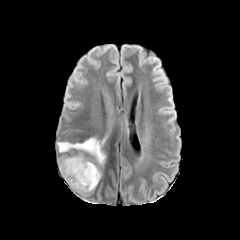
FLAIR magnetic resonance.
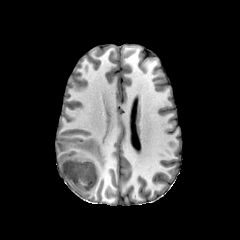
T1-weighted MR image.
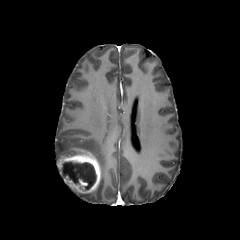
Post-contrast T1-weighted magnetic resonance.
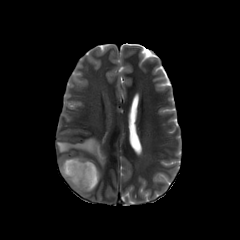
Same slice, T2-weighted MR.
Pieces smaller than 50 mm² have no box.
necrotic_tumor_core:
  - 61,161,96,190
enhancing_tumor:
  - 57,152,100,193
peritumoral_edema:
  - 56,137,106,168